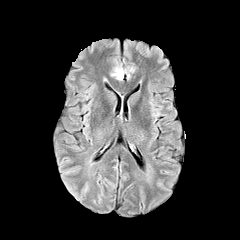
FLAIR MR image.
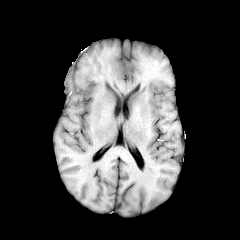
T1-weighted MR of the same slice.
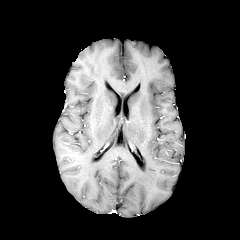
Post-contrast T1-weighted magnetic resonance.
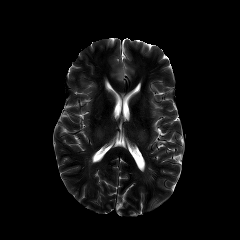
Same slice, T2-weighted MR.
240x240
peritumoral_edema:
  - bbox=[111, 67, 125, 80]